Axial plane; Slice 64 of 155; 240x240; Brain
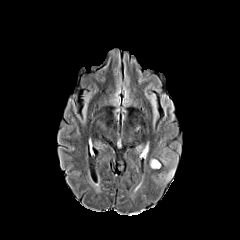
FLAIR magnetic resonance.
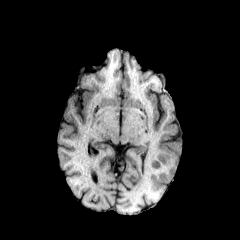
T1-weighted MRI of the same slice.
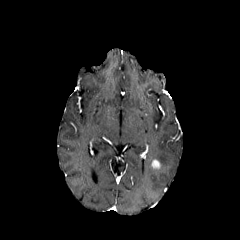
Post-contrast T1-weighted magnetic resonance of the same slice.
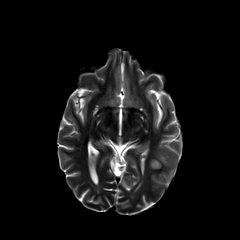
T2-weighted MRI of the same slice.
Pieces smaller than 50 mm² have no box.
The largest peritumoral edema region appears at x1=166 y1=168 x2=175 y2=180. The enhancing tumor lies within x1=151 y1=159 x2=160 y2=168.